240x240 | Axial view | Head
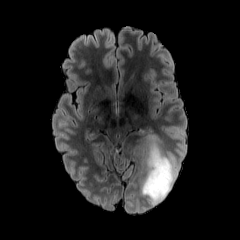
FLAIR magnetic resonance.
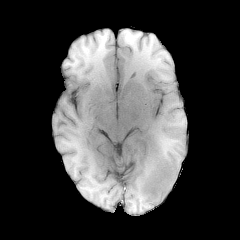
Same slice, T1-weighted MR.
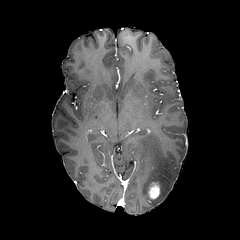
Post-contrast T1-weighted MR.
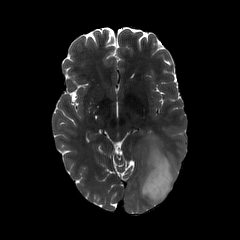
Same slice, T2-weighted MR image.
Annotated regions:
* enhancing tumor: (left=148, top=182, right=160, bottom=199)
* peritumoral edema: (left=140, top=134, right=177, bottom=205)